Slice index 43
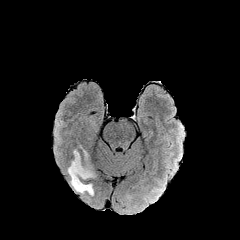
FLAIR MR.
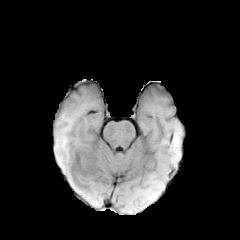
T1-weighted MR of the same slice.
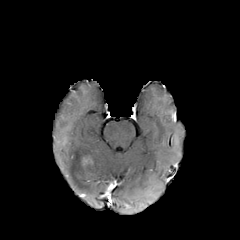
Post-contrast T1-weighted MR image.
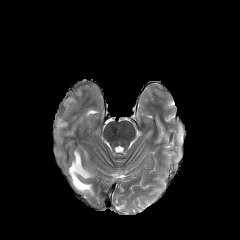
T2-weighted magnetic resonance.
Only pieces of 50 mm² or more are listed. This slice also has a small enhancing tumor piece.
peritumoral edema: box(68, 150, 94, 195)